Head
FLAIR MR.
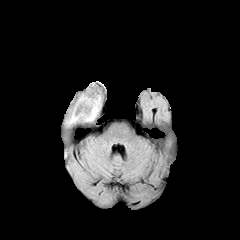
T1-weighted MR.
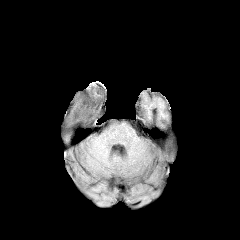
Post-contrast T1-weighted MR.
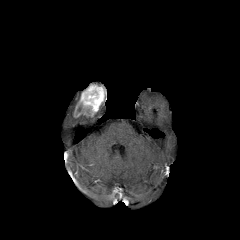
T2-weighted MRI.
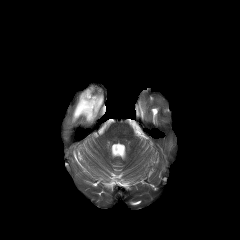
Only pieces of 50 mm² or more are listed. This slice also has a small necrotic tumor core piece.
peritumoral edema: bbox=[67, 106, 93, 124] | enhancing tumor: bbox=[73, 84, 104, 119]